FLAIR MR.
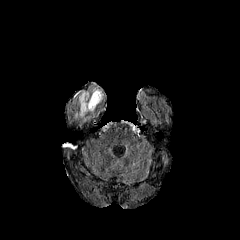
T1-weighted MRI.
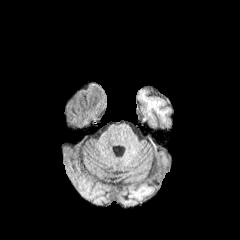
Post-contrast T1-weighted magnetic resonance.
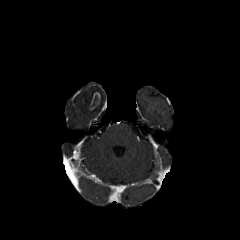
T2-weighted MR image.
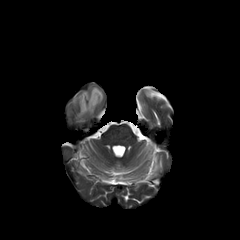
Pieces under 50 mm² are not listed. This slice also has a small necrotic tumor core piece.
* enhancing tumor: <box>89,92,100,109</box>
* peritumoral edema: <box>74,87,103,117</box>